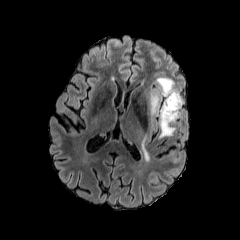
FLAIR MRI.
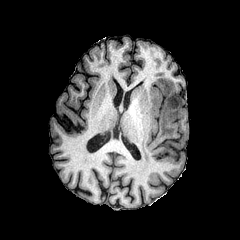
T1-weighted MR image.
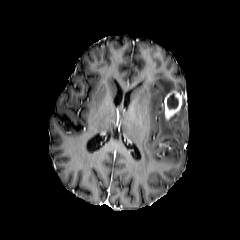
Same slice, post-contrast T1-weighted MR.
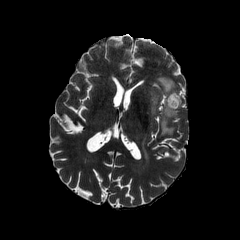
T2-weighted MR.
Axial view
Findings:
* necrotic tumor core: 167,94,178,109
* peritumoral edema: 150,95,158,114; 142,136,149,160; 160,104,179,137; 157,77,177,95
* enhancing tumor: 164,90,182,120